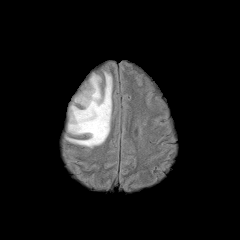
FLAIR MRI.
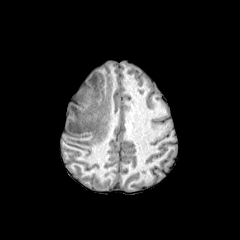
T1-weighted MR image.
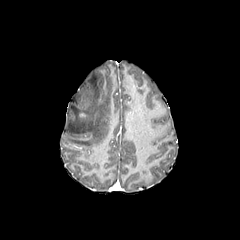
Post-contrast T1-weighted MRI.
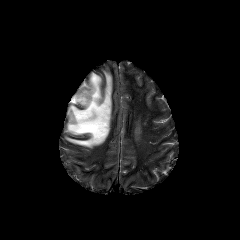
T2-weighted MR of the same slice.
Axial slice, Head
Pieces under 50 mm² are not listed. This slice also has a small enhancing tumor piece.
The peritumoral edema is located at (66, 71, 112, 147).